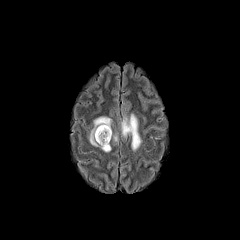
FLAIR MR image.
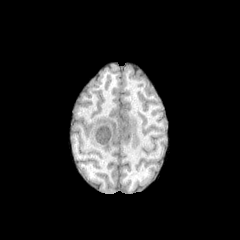
T1-weighted MRI.
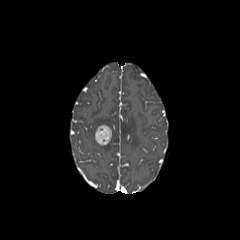
Post-contrast T1-weighted magnetic resonance of the same slice.
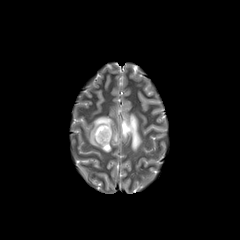
Same slice, T2-weighted magnetic resonance.
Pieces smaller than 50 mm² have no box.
peritumoral edema = left=89, top=116, right=111, bottom=152; left=121, top=114, right=141, bottom=150
enhancing tumor = left=95, top=125, right=111, bottom=145